Image width 240 mm; Slice 135 of 155; Head
FLAIR MR.
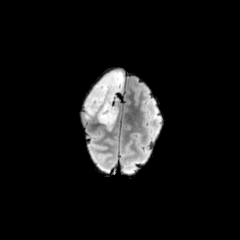
T1-weighted magnetic resonance.
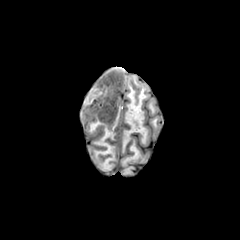
Post-contrast T1-weighted MR image.
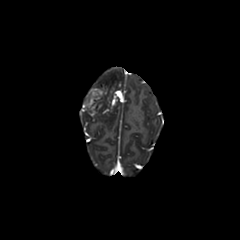
T2-weighted MRI.
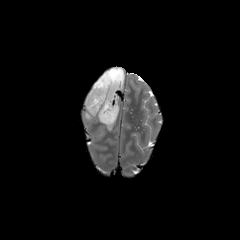
• peritumoral edema: {"x1": 94, "y1": 69, "x2": 124, "y2": 92}, {"x1": 84, "y1": 102, "x2": 118, "y2": 129}
• enhancing tumor: {"x1": 84, "y1": 85, "x2": 119, "y2": 116}